Image covers 240 mm x 240 mm.
FLAIR MRI.
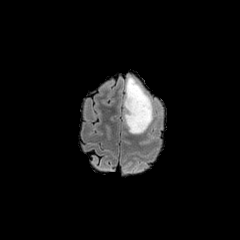
T1-weighted MRI.
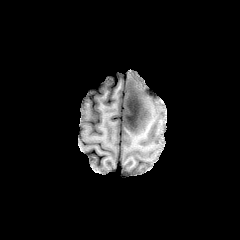
Post-contrast T1-weighted magnetic resonance.
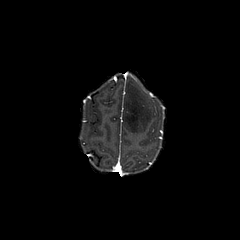
T2-weighted MR.
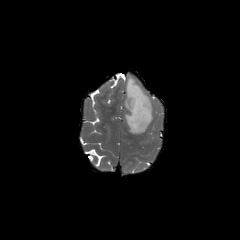
peritumoral edema = (124, 77, 152, 133)
necrotic tumor core = (125, 103, 139, 130)